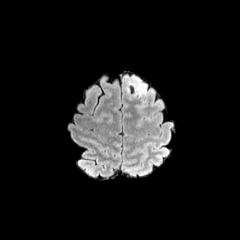
FLAIR magnetic resonance.
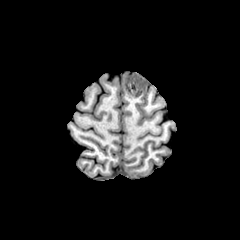
Same slice, T1-weighted MR image.
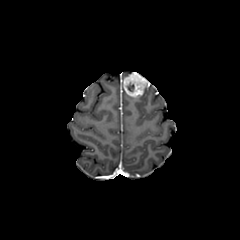
Post-contrast T1-weighted magnetic resonance.
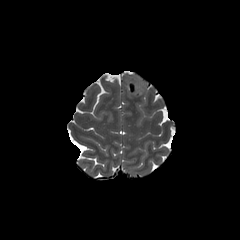
Same slice, T2-weighted MR.
Brain
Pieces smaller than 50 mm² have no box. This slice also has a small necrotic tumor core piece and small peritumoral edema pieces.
The enhancing tumor is bounded by <box>123,73,146,97</box>.